FLAIR MRI.
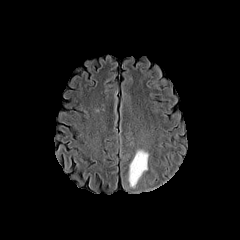
T1-weighted MR image.
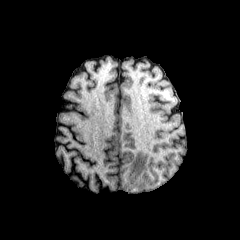
Post-contrast T1-weighted MRI.
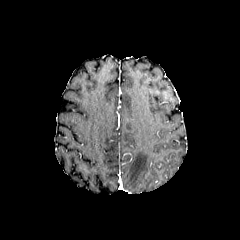
T2-weighted MR image.
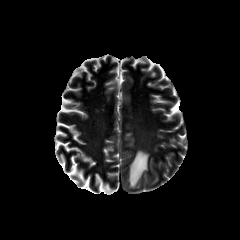
peritumoral edema = x1=127, y1=149, x2=148, y2=188